FLAIR MR image.
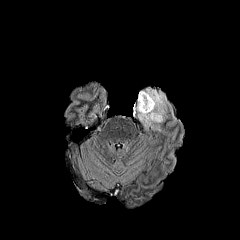
T1-weighted MR.
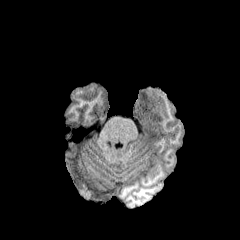
Post-contrast T1-weighted magnetic resonance.
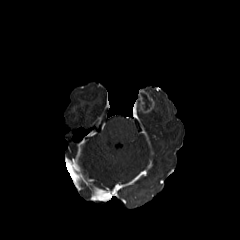
T2-weighted MR.
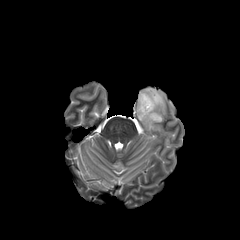
Brain. Axial view.
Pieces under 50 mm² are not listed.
necrotic_tumor_core:
  - 141, 93, 151, 110
peritumoral_edema:
  - 136, 88, 167, 128
enhancing_tumor:
  - 137, 90, 154, 113